FLAIR MRI.
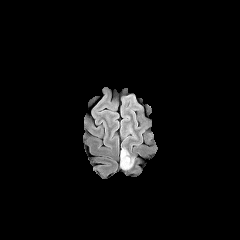
T1-weighted magnetic resonance.
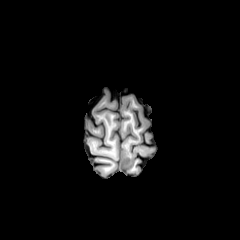
Post-contrast T1-weighted magnetic resonance.
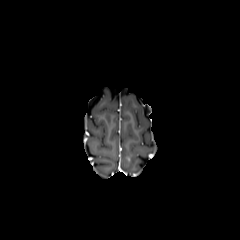
T2-weighted MR.
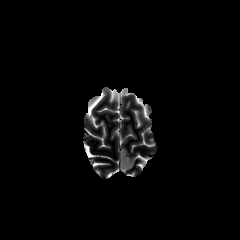
Axial view, Image size 240x240, Head
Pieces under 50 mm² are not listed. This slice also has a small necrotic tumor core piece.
The enhancing tumor is at (124, 156, 130, 168). The peritumoral edema is at (121, 146, 135, 170).